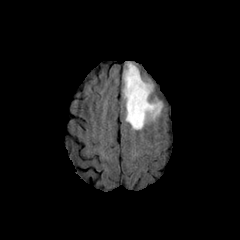
FLAIR magnetic resonance.
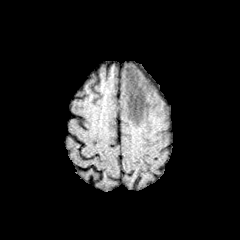
T1-weighted magnetic resonance of the same slice.
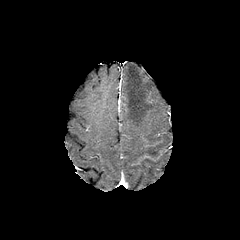
Post-contrast T1-weighted MRI of the same slice.
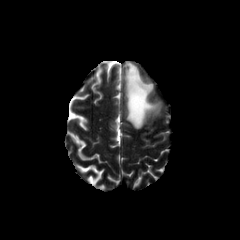
T2-weighted MR.
Image size 240x240; Head
The peritumoral edema lies within bbox=[123, 62, 162, 129].